FLAIR magnetic resonance.
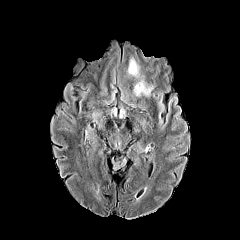
T1-weighted MR image.
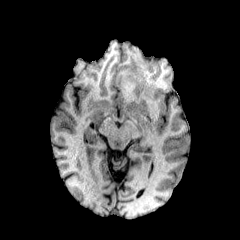
Post-contrast T1-weighted MR image.
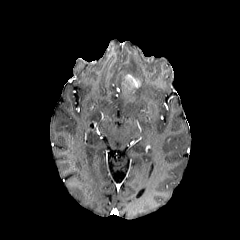
T2-weighted MRI.
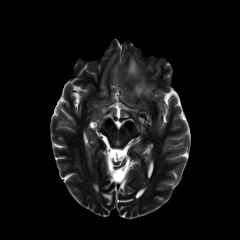
Axial view
<segmentation>
  <enhancing_tumor>(left=125, top=74, right=140, bottom=88)</enhancing_tumor>
  <peritumoral_edema>(left=134, top=79, right=153, bottom=96), (left=128, top=58, right=139, bottom=78)</peritumoral_edema>
</segmentation>